Head. Slice index 89. Image size 240x240.
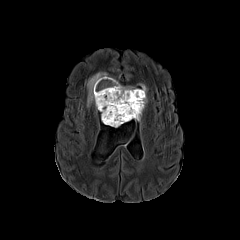
FLAIR MRI.
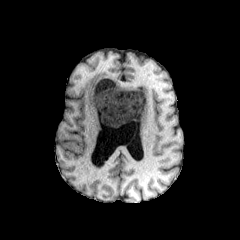
T1-weighted MR image.
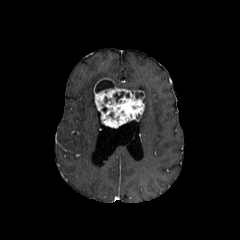
Post-contrast T1-weighted MR image of the same slice.
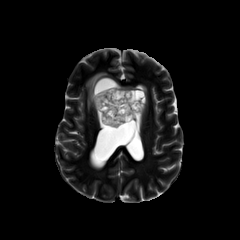
Same slice, T2-weighted MR.
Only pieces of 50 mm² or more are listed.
The 2 largest necrotic tumor core regions are bounded by box(114, 92, 124, 102); box(95, 80, 115, 92). The enhancing tumor appears at box(94, 78, 144, 127). The largest peritumoral edema region appears at box(86, 72, 147, 107).